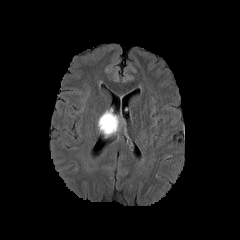
FLAIR MR image.
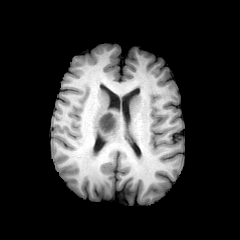
Same slice, T1-weighted magnetic resonance.
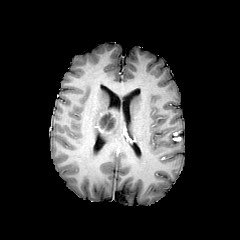
Post-contrast T1-weighted MR.
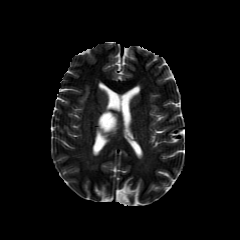
Same slice, T2-weighted MR image.
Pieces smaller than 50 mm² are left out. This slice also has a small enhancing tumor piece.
The peritumoral edema is at x1=98, y1=111, x2=118, y2=135. 2 necrotic tumor core regions are bounded by x1=99, y1=113, x2=111, y2=128; x1=105, y1=117, x2=115, y2=131.